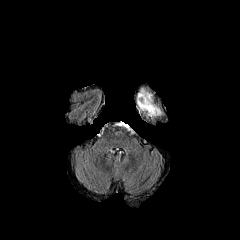
FLAIR MR.
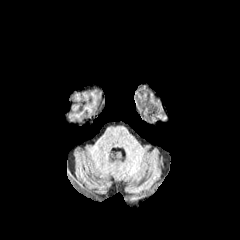
T1-weighted MRI.
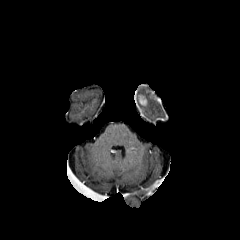
Post-contrast T1-weighted MR.
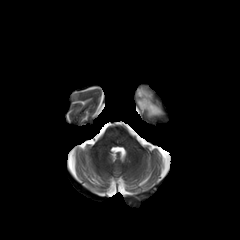
T2-weighted MRI.
Head
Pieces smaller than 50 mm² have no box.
The largest peritumoral edema region lies within (x1=137, y1=96, x2=161, y2=116). The enhancing tumor lies within (x1=138, y1=93, x2=152, y2=106).